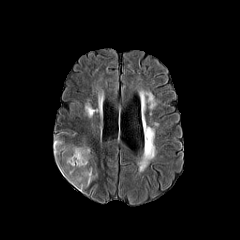
FLAIR MR image.
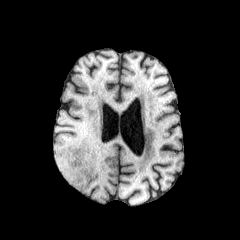
Same slice, T1-weighted MRI.
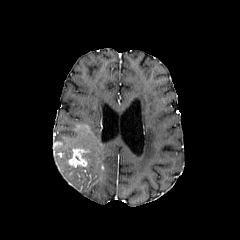
Same slice, post-contrast T1-weighted MR image.
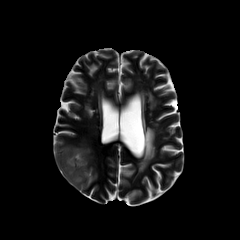
T2-weighted MR image of the same slice.
Axial view; Brain; 240x240 px
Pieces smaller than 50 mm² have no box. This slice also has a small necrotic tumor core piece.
Annotated regions:
• enhancing tumor: left=68, top=148, right=88, bottom=167
• peritumoral edema: left=53, top=138, right=94, bottom=189